FLAIR MRI.
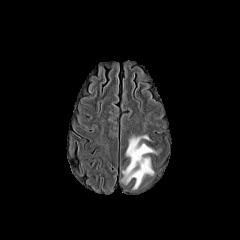
T1-weighted MR image.
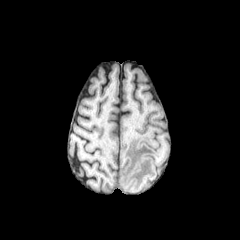
Post-contrast T1-weighted magnetic resonance.
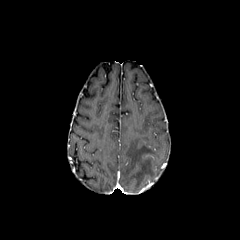
T2-weighted MR.
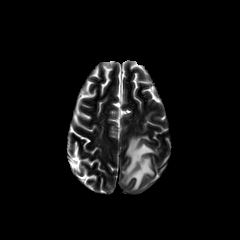
240x240.
peritumoral_edema:
  - l=122, t=135, r=155, b=189